Slice index 56; Image width 240 mm, 1.00 mm slice spacing; Axial view
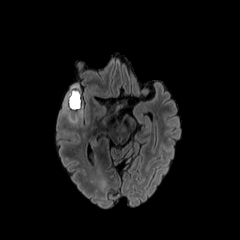
FLAIR MR image.
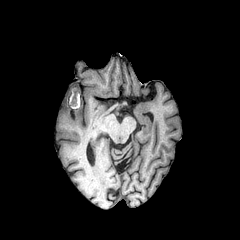
Same slice, T1-weighted magnetic resonance.
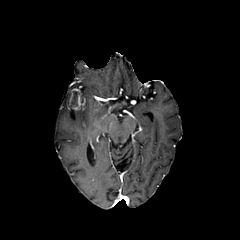
Post-contrast T1-weighted MR image.
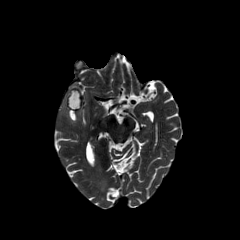
Same slice, T2-weighted magnetic resonance.
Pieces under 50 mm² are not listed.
necrotic tumor core = x1=71 y1=91 x2=78 y2=106
enhancing tumor = x1=69 y1=88 x2=82 y2=110
peritumoral edema = x1=64 y1=91 x2=78 y2=122